FLAIR MR.
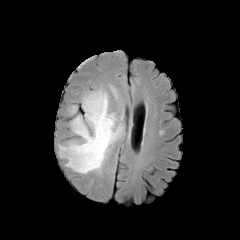
T1-weighted magnetic resonance.
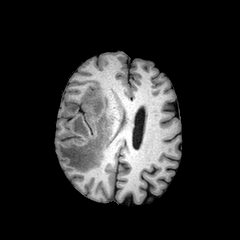
Post-contrast T1-weighted MR image.
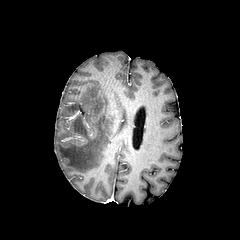
T2-weighted magnetic resonance.
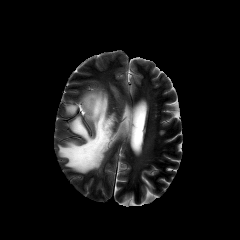
Axial view; Image size 240x240
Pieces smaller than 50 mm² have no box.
The 2 largest peritumoral edema regions are located at [67, 105, 77, 114], [58, 88, 123, 173].